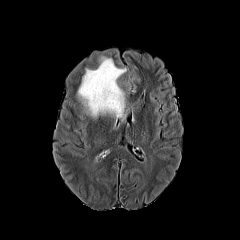
FLAIR MR.
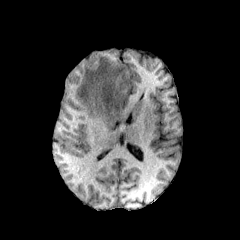
Same slice, T1-weighted magnetic resonance.
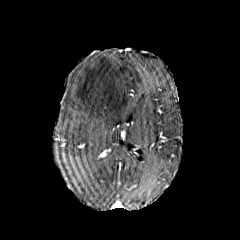
Post-contrast T1-weighted magnetic resonance.
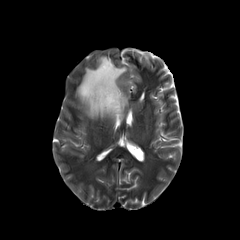
T2-weighted magnetic resonance.
Axial view.
<segmentation>
  <peritumoral_edema>x1=77 y1=56 x2=126 y2=121</peritumoral_edema>
</segmentation>